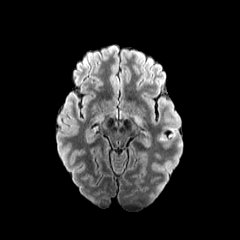
FLAIR magnetic resonance.
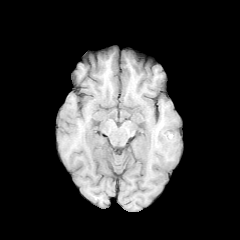
T1-weighted MRI.
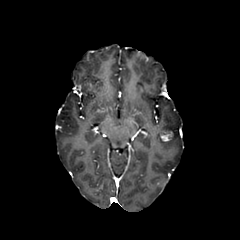
Post-contrast T1-weighted MR image of the same slice.
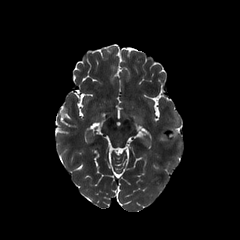
T2-weighted MRI of the same slice.
Head
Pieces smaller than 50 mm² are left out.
<segmentation>
  <enhancing_tumor>left=161, top=134, right=170, bottom=141</enhancing_tumor>
  <peritumoral_edema>left=168, top=128, right=177, bottom=139</peritumoral_edema>
</segmentation>